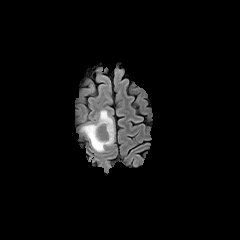
FLAIR MR image.
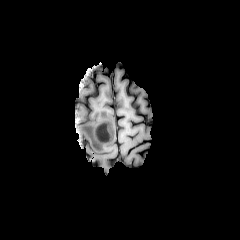
T1-weighted MRI.
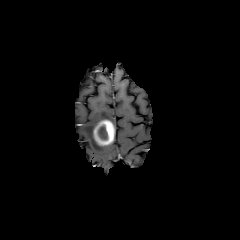
Post-contrast T1-weighted MR image.
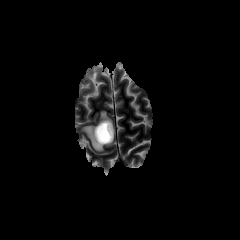
T2-weighted MRI of the same slice.
Axial slice. Brain.
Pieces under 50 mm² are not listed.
necrotic tumor core — x1=98, y1=126, x2=107, y2=139
peritumoral edema — x1=81, y1=79, x2=95, y2=94; x1=80, y1=110, x2=114, y2=152
enhancing tumor — x1=93, y1=120, x2=114, y2=145